FLAIR MRI.
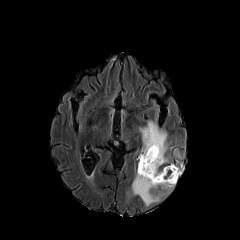
T1-weighted magnetic resonance.
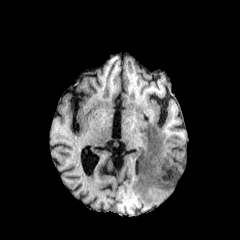
Post-contrast T1-weighted MR image.
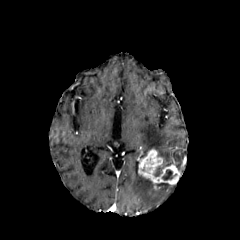
T2-weighted magnetic resonance.
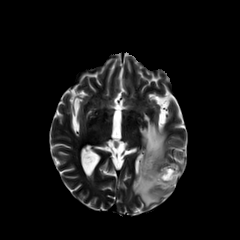
Brain, 240x240 px
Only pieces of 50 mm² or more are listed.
<segmentation>
  <necrotic_tumor_core>154,164,163,176; 162,170,173,180</necrotic_tumor_core>
  <peritumoral_edema>132,172,165,206; 139,121,168,163; 157,183,173,191</peritumoral_edema>
  <enhancing_tumor>138,148,181,189</enhancing_tumor>
</segmentation>